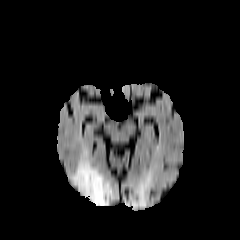
FLAIR magnetic resonance.
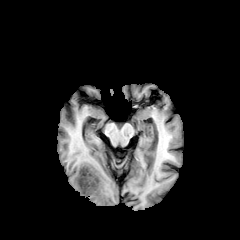
T1-weighted magnetic resonance.
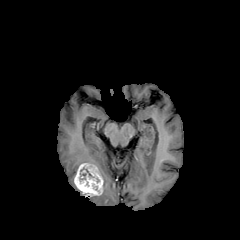
Same slice, post-contrast T1-weighted MR.
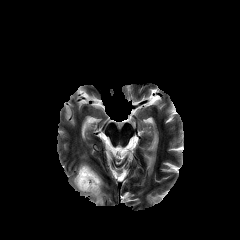
T2-weighted MR.
Brain
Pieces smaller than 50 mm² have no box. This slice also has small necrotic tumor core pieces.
peritumoral edema — 89,174,112,205; 71,151,91,183
enhancing tumor — 74,163,103,196